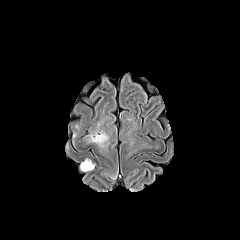
FLAIR MR.
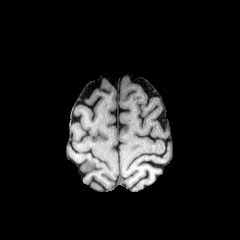
T1-weighted MR image.
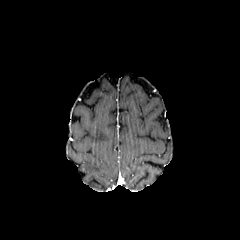
Same slice, post-contrast T1-weighted MRI.
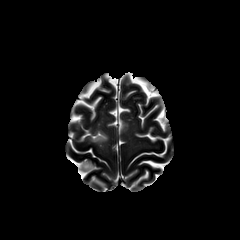
T2-weighted MRI of the same slice.
240x240. Head.
peritumoral edema = (x1=91, y1=132, x2=107, y2=145), (x1=80, y1=159, x2=94, y2=171)